Image width 240 mm, 1.00 mm slice spacing; Axial slice; Brain
FLAIR magnetic resonance.
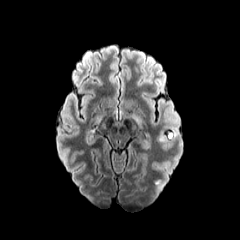
T1-weighted MR.
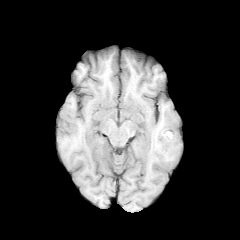
Post-contrast T1-weighted MR.
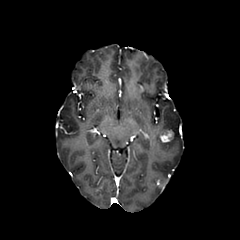
T2-weighted MRI.
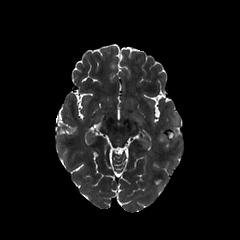
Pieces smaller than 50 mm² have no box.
enhancing tumor: [160,132,172,142] | peritumoral edema: [171,127,178,140]